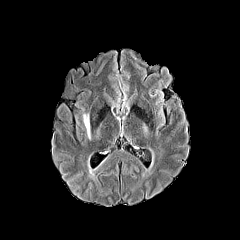
FLAIR magnetic resonance.
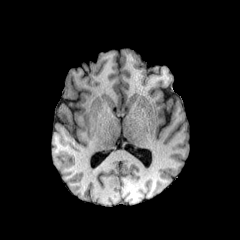
T1-weighted MR image.
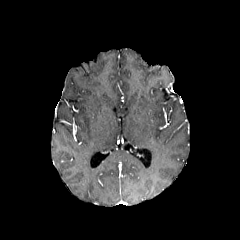
Same slice, post-contrast T1-weighted MR image.
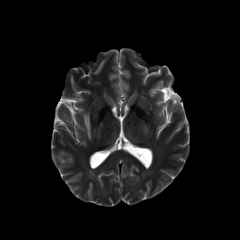
T2-weighted MR.
Axial plane; Brain; 240x240 px
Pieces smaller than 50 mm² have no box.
<segmentation>
  <peritumoral_edema>[83, 114, 90, 139]</peritumoral_edema>
</segmentation>